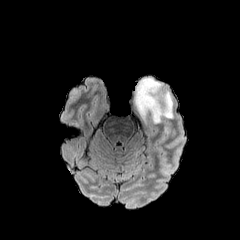
FLAIR MR image.
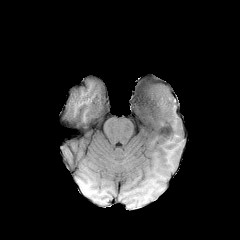
T1-weighted MR image.
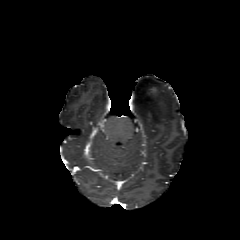
Same slice, post-contrast T1-weighted MR image.
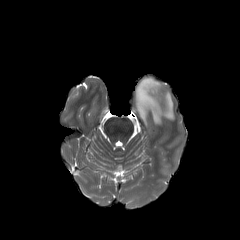
T2-weighted MR image.
Brain
peritumoral edema: left=133, top=77, right=174, bottom=126
enhancing tumor: left=149, top=87, right=157, bottom=93